FLAIR MR.
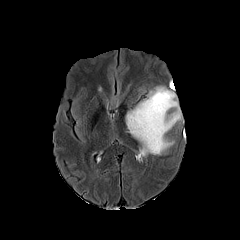
T1-weighted MRI.
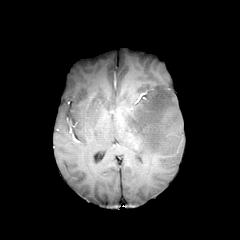
Post-contrast T1-weighted MR.
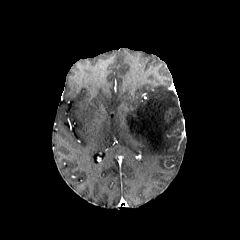
T2-weighted magnetic resonance.
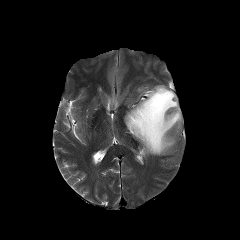
240x240 px, Axial plane, Head
<segmentation>
  <peritumoral_edema>x1=125, y1=85, x2=181, y2=156</peritumoral_edema>
</segmentation>